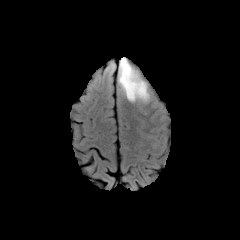
FLAIR MRI.
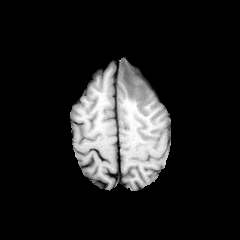
Same slice, T1-weighted MR.
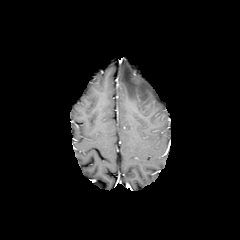
Post-contrast T1-weighted MR.
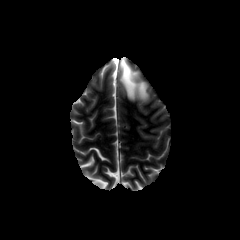
T2-weighted MRI of the same slice.
Axial view.
peritumoral_edema:
  - box(118, 58, 150, 102)